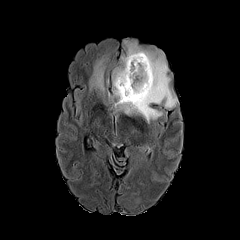
FLAIR magnetic resonance.
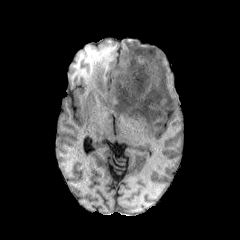
Same slice, T1-weighted MR image.
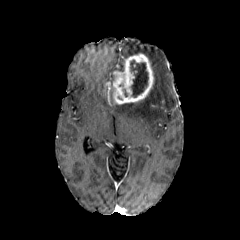
Same slice, post-contrast T1-weighted MR.
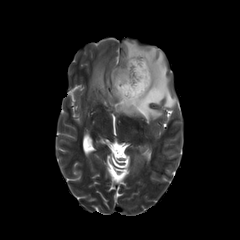
T2-weighted MRI.
Axial view
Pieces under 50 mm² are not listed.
enhancing tumor: region(113, 53, 153, 104)
peritumoral edema: region(111, 39, 177, 123); region(88, 54, 114, 107)
necrotic tumor core: region(130, 60, 148, 97)